Brain, Axial plane
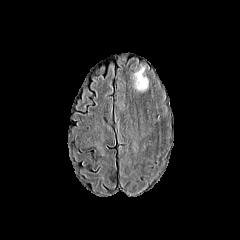
FLAIR MR.
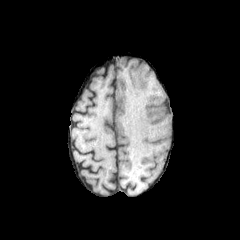
T1-weighted MRI.
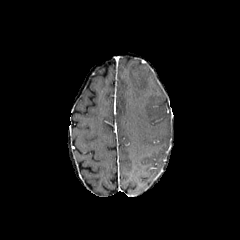
Post-contrast T1-weighted MRI.
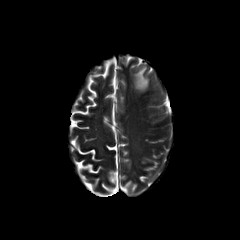
Same slice, T2-weighted MR image.
peritumoral_edema:
  - 135,67,148,90